FLAIR magnetic resonance.
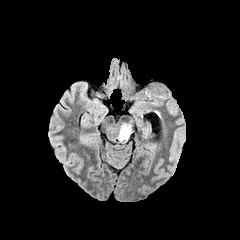
T1-weighted MR.
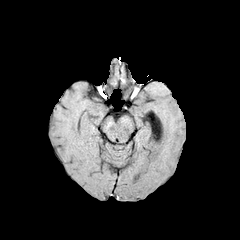
Post-contrast T1-weighted MR.
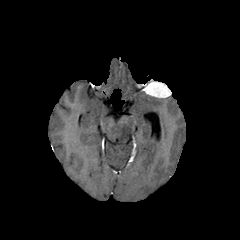
T2-weighted MR.
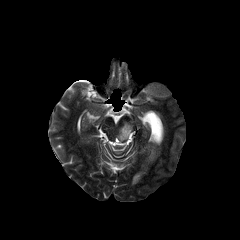
Head. Axial plane.
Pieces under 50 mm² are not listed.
The largest peritumoral edema region lies within (117,123,131,141).